Slice 79 of 155
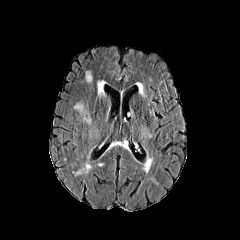
FLAIR MR image.
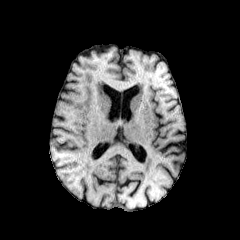
T1-weighted magnetic resonance.
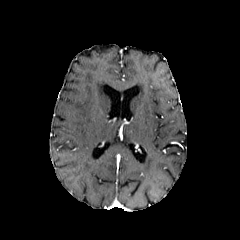
Post-contrast T1-weighted MR image.
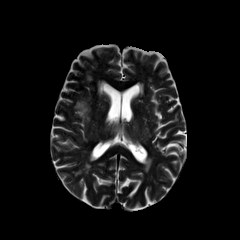
Same slice, T2-weighted magnetic resonance.
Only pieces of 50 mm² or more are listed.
{
  "peritumoral_edema": [
    "[97,81,105,96]",
    "[74,102,90,123]"
  ]
}